FLAIR MR image.
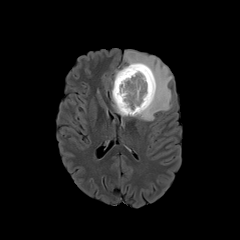
T1-weighted MRI.
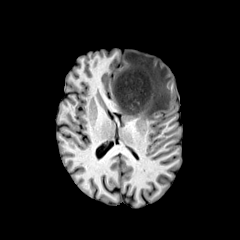
Post-contrast T1-weighted MR.
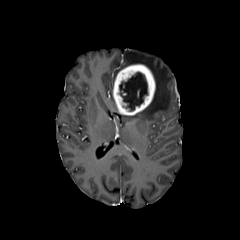
T2-weighted MRI.
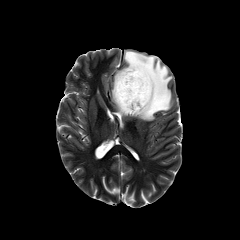
Brain
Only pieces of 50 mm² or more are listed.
The 2 largest peritumoral edema regions appear at [111, 82, 117, 111], [122, 50, 172, 120]. The necrotic tumor core appears at [119, 72, 147, 110]. The largest enhancing tumor region appears at [113, 64, 155, 115].